Head | Slice 68/155
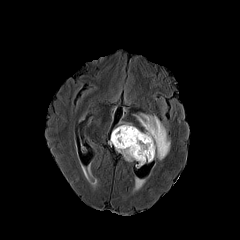
FLAIR magnetic resonance.
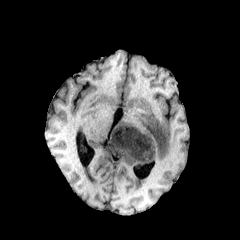
T1-weighted MR image.
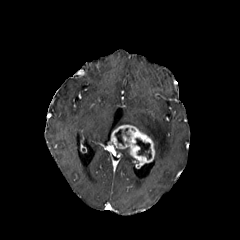
Post-contrast T1-weighted MR.
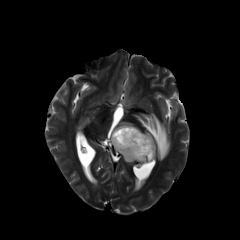
Same slice, T2-weighted MR.
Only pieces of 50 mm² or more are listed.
The enhancing tumor appears at [110, 125, 155, 164]. The 2 largest necrotic tumor core regions are bounded by [136, 138, 151, 159], [115, 129, 124, 145]. The 2 largest peritumoral edema regions are bounded by [116, 149, 136, 161], [134, 113, 170, 160].